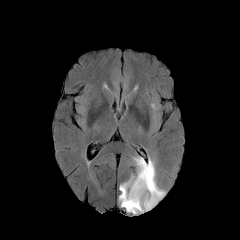
FLAIR MRI.
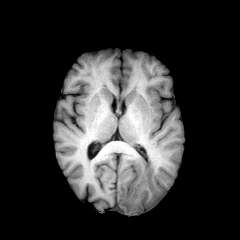
T1-weighted MR image of the same slice.
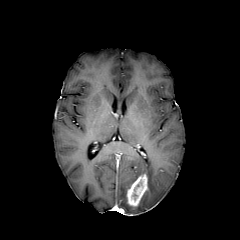
Same slice, post-contrast T1-weighted magnetic resonance.
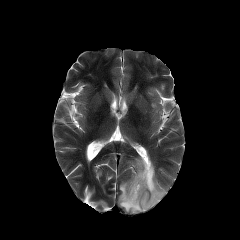
Same slice, T2-weighted MRI.
Axial slice.
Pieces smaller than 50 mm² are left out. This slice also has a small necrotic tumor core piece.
The enhancing tumor lies within box(126, 173, 147, 207). The peritumoral edema lies within box(119, 157, 165, 213).